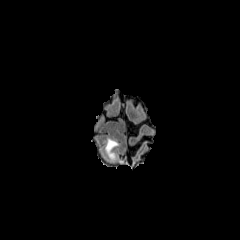
FLAIR MR image.
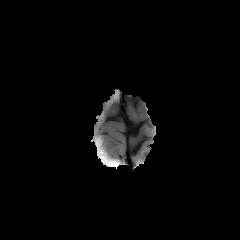
T1-weighted magnetic resonance.
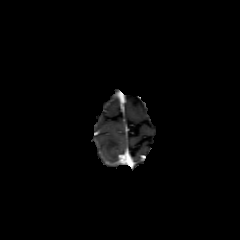
Post-contrast T1-weighted MRI.
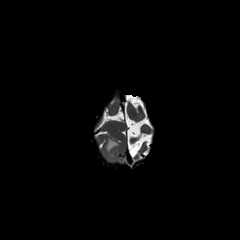
T2-weighted MR.
240x240. Brain.
peritumoral edema at box(105, 138, 118, 161)